Head; Axial plane; 240x240 px; Slice 58/155
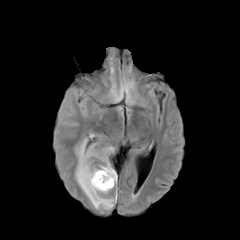
FLAIR MRI.
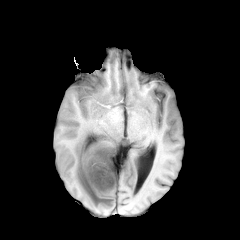
Same slice, T1-weighted magnetic resonance.
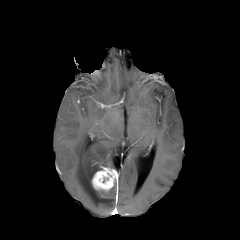
Post-contrast T1-weighted magnetic resonance.
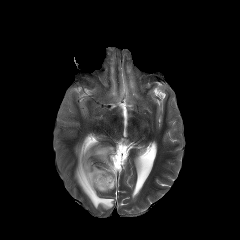
T2-weighted MR image of the same slice.
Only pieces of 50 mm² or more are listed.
The enhancing tumor lies within [91, 164, 117, 191]. The largest peritumoral edema region lies within [75, 138, 115, 209].